Brain, Axial plane
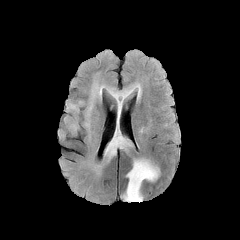
FLAIR MR.
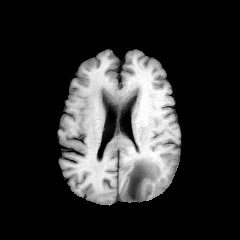
T1-weighted magnetic resonance.
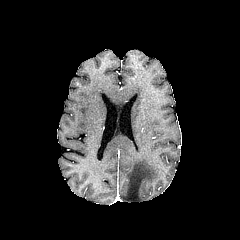
Post-contrast T1-weighted MRI of the same slice.
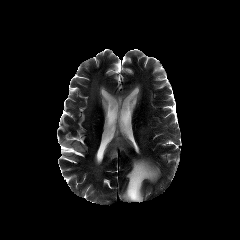
Same slice, T2-weighted MRI.
peritumoral edema: (left=105, top=84, right=140, bottom=162), (left=121, top=158, right=159, bottom=202)